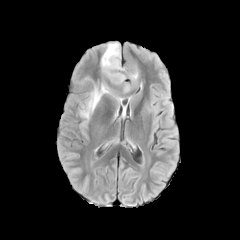
FLAIR MR image.
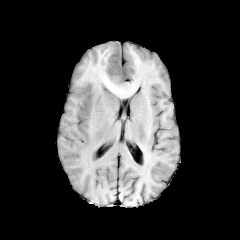
Same slice, T1-weighted MR image.
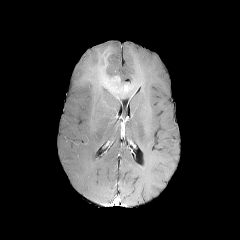
Post-contrast T1-weighted MR of the same slice.
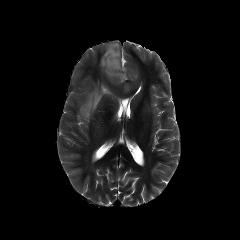
T2-weighted MR image of the same slice.
Axial view; Brain
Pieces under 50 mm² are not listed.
<segmentation>
  <enhancing_tumor>(left=110, top=76, right=120, bottom=83)</enhancing_tumor>
  <peritumoral_edema>(left=101, top=42, right=141, bottom=93), (left=80, top=77, right=122, bottom=138)</peritumoral_edema>
</segmentation>